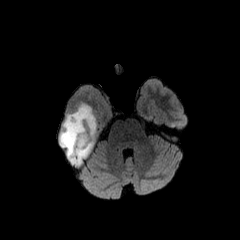
FLAIR MR image.
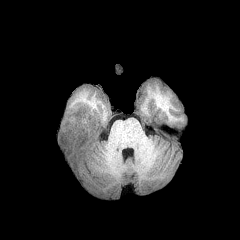
T1-weighted MRI.
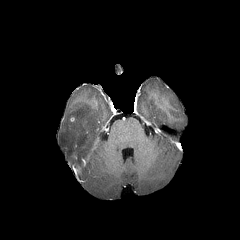
Post-contrast T1-weighted MR.
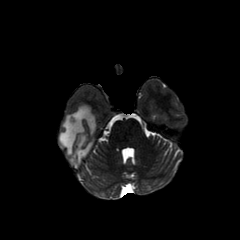
T2-weighted MR.
Axial slice | Brain
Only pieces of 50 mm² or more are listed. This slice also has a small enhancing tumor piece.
peritumoral_edema:
  - box=[59, 104, 96, 164]